FLAIR MR.
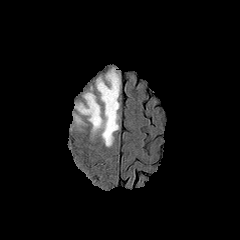
T1-weighted MRI.
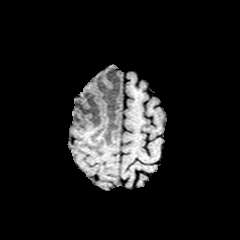
Post-contrast T1-weighted MRI.
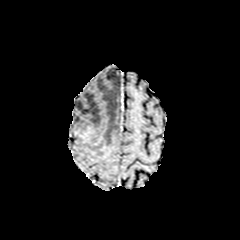
T2-weighted magnetic resonance.
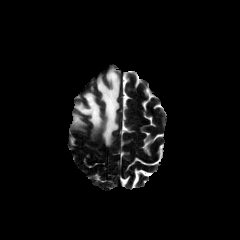
Brain.
2 peritumoral edema regions are bounded by 74, 114, 84, 125; 75, 68, 120, 146.